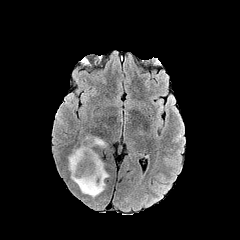
FLAIR MR.
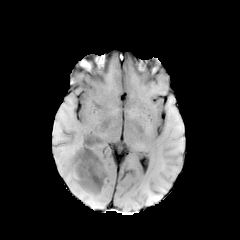
T1-weighted MR.
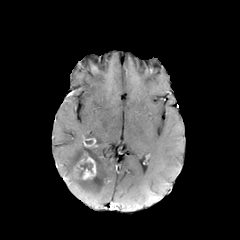
Post-contrast T1-weighted magnetic resonance.
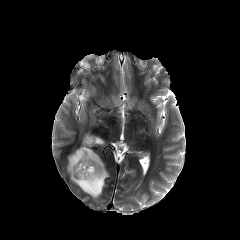
T2-weighted MR image of the same slice.
Head
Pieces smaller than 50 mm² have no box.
peritumoral_edema:
  - x1=67 y1=143 x2=109 y2=197
  - x1=94 y1=136 x2=106 y2=147
necrotic_tumor_core:
  - x1=74 y1=163 x2=92 y2=177
enhancing_tumor:
  - x1=83 y1=138 x2=96 y2=147
  - x1=75 y1=151 x2=96 y2=179